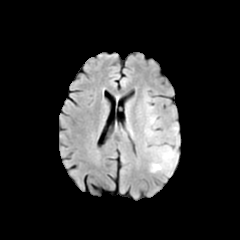
FLAIR MR.
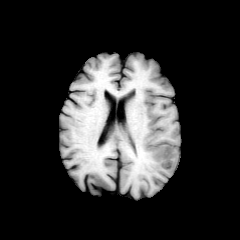
Same slice, T1-weighted magnetic resonance.
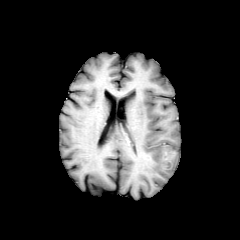
Same slice, post-contrast T1-weighted MR image.
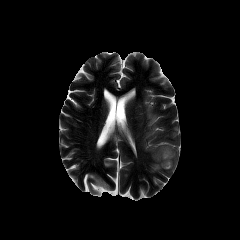
Same slice, T2-weighted MR image.
Axial slice.
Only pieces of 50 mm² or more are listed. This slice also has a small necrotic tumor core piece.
Annotated regions:
• enhancing tumor: left=161, top=150, right=174, bottom=169
• peritumoral edema: left=145, top=104, right=157, bottom=137; left=150, top=145, right=178, bottom=175